Head | 240x240
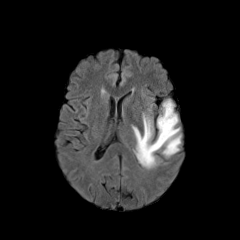
FLAIR MR.
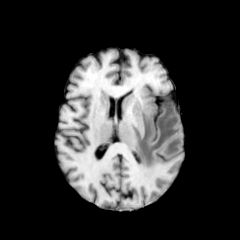
T1-weighted magnetic resonance.
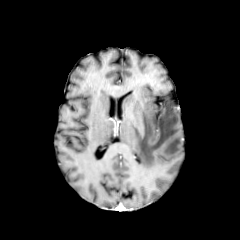
Post-contrast T1-weighted MRI.
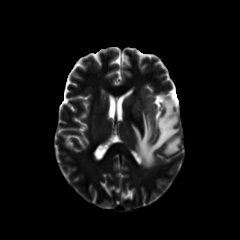
T2-weighted MR.
2 peritumoral edema regions appear at region(134, 101, 179, 165); region(163, 137, 180, 154).